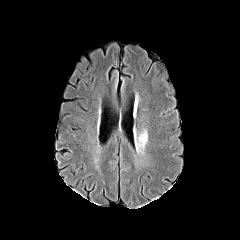
FLAIR MRI.
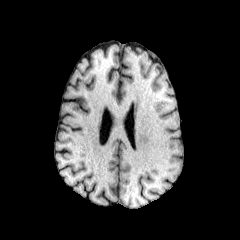
Same slice, T1-weighted MR image.
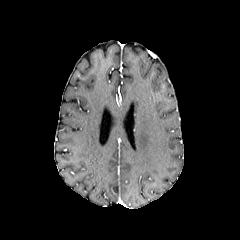
Post-contrast T1-weighted magnetic resonance.
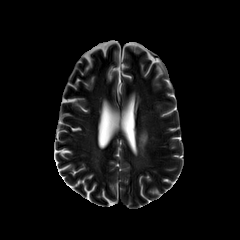
T2-weighted MRI of the same slice.
Brain; Axial plane
- peritumoral edema: <bbox>136, 130, 147, 150</bbox>